FLAIR MRI.
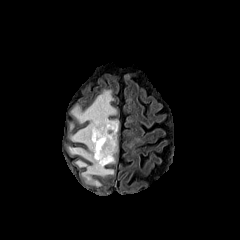
T1-weighted MR image.
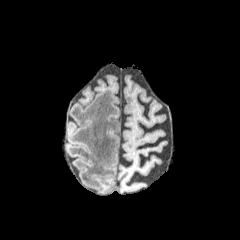
Post-contrast T1-weighted MR.
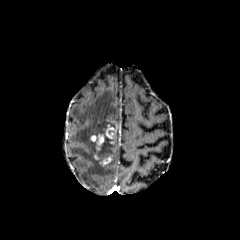
T2-weighted MRI.
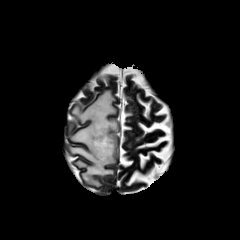
Axial slice, Head
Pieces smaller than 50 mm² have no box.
enhancing tumor: <bbox>91, 134, 111, 165</bbox>, <bbox>103, 119, 118, 144</bbox> | peritumoral edema: <bbox>68, 90, 117, 187</bbox> | necrotic tumor core: <bbox>95, 130, 113, 148</bbox>